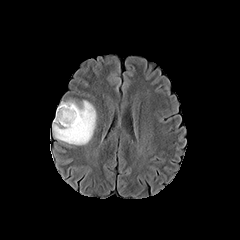
FLAIR MR image.
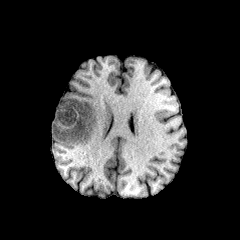
T1-weighted MRI.
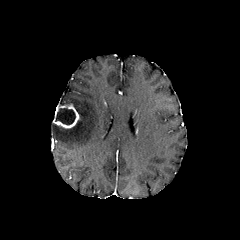
Post-contrast T1-weighted MRI of the same slice.
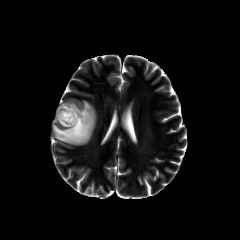
T2-weighted MRI.
peritumoral edema: bounding box [52,100,96,145]
necrotic tumor core: bounding box [55,108,75,124]
enhancing tumor: bounding box [53,103,79,128]